Axial view; Head; Slice 60 of 155
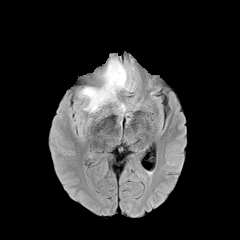
FLAIR MR.
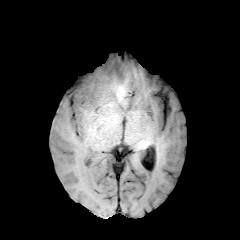
T1-weighted MRI.
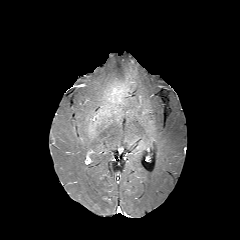
Post-contrast T1-weighted magnetic resonance of the same slice.
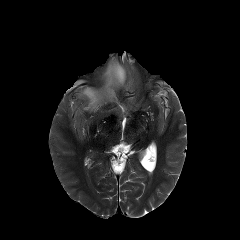
T2-weighted MR image.
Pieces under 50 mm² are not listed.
peritumoral_edema:
  - (left=118, top=103, right=126, bottom=115)
  - (left=79, top=59, right=130, bottom=112)